FLAIR MR image.
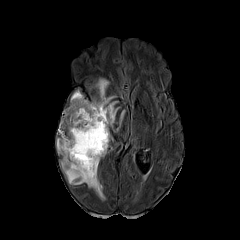
T1-weighted magnetic resonance.
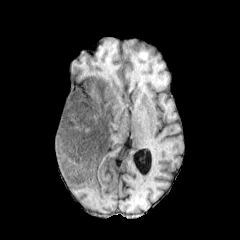
Post-contrast T1-weighted MR image.
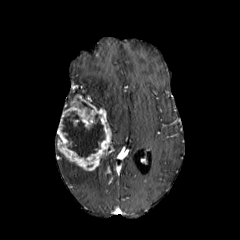
T2-weighted MR.
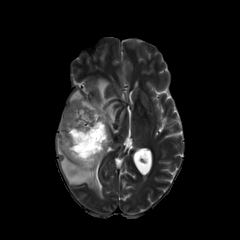
Axial view
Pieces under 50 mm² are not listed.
necrotic tumor core: [x1=62, y1=111, x2=104, y2=157] | enhancing tumor: [x1=57, y1=94, x2=111, y2=170] | peritumoral edema: [x1=91, y1=78, x2=119, y2=127], [x1=57, y1=149, x2=104, y2=199]